Image width 240 mm
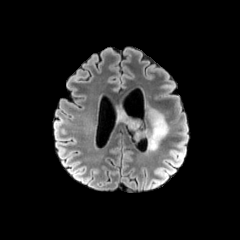
FLAIR MR image.
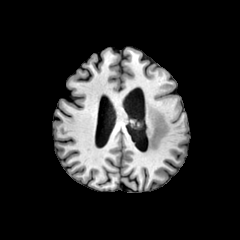
T1-weighted MR.
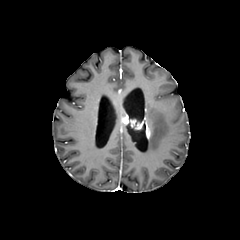
Post-contrast T1-weighted MR.
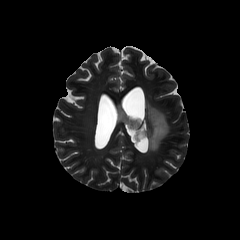
T2-weighted MR.
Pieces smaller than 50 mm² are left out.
enhancing tumor: bounding box <bbox>145, 123, 150, 139</bbox>, <bbox>121, 115, 142, 129</bbox>
peritumoral edema: bounding box <bbox>148, 106, 168, 150</bbox>, <bbox>117, 105, 125, 122</bbox>